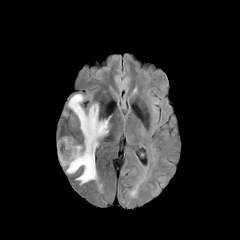
FLAIR MR image.
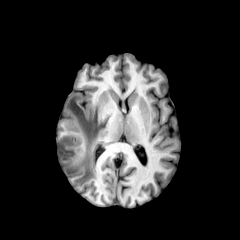
T1-weighted magnetic resonance of the same slice.
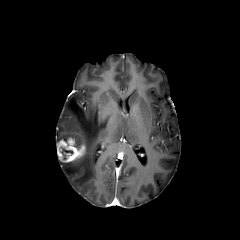
Post-contrast T1-weighted MRI.
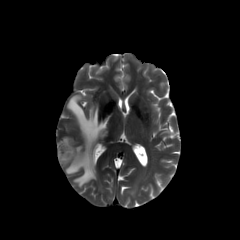
Same slice, T2-weighted magnetic resonance.
Head | Axial plane
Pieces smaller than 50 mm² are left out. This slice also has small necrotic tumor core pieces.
The largest peritumoral edema region is bounded by box=[61, 95, 109, 184]. The enhancing tumor is located at box=[57, 137, 85, 162].